FLAIR magnetic resonance.
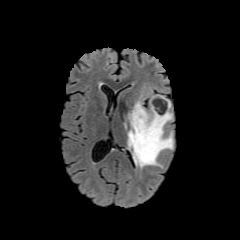
T1-weighted MR.
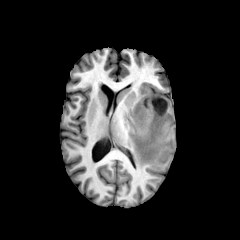
Post-contrast T1-weighted MR image.
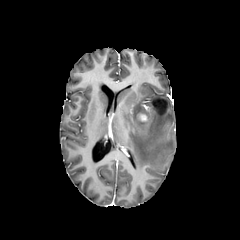
T2-weighted MRI.
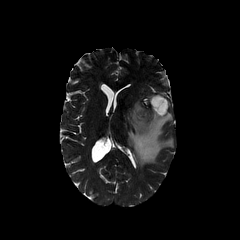
Head
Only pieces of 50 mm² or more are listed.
{"peritumoral_edema": [{"x1": 127, "y1": 96, "x2": 173, "y2": 168}], "enhancing_tumor": [{"x1": 139, "y1": 114, "x2": 146, "y2": 121}]}